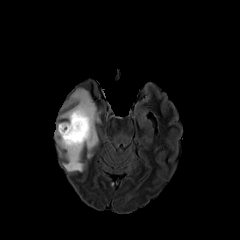
FLAIR MRI.
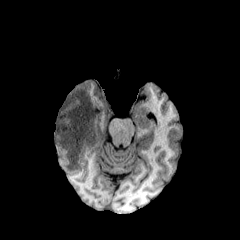
T1-weighted MRI.
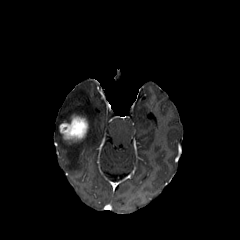
Post-contrast T1-weighted MR.
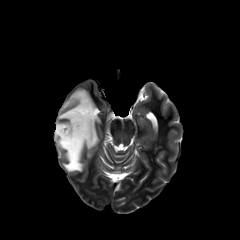
Same slice, T2-weighted MR.
Image size 240x240, Head, Axial plane
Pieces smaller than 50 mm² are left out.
The largest peritumoral edema region is at (55, 88, 100, 172). The enhancing tumor lies within (59, 114, 88, 141).